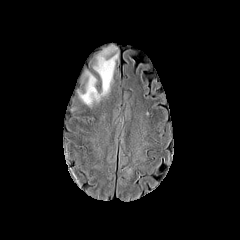
FLAIR MR.
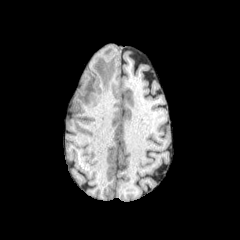
Same slice, T1-weighted MRI.
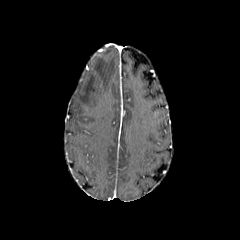
Post-contrast T1-weighted MRI.
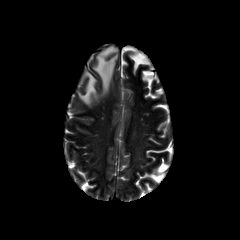
T2-weighted magnetic resonance.
Head, Axial slice
<segmentation>
  <peritumoral_edema>bbox=[79, 47, 117, 105]</peritumoral_edema>
</segmentation>